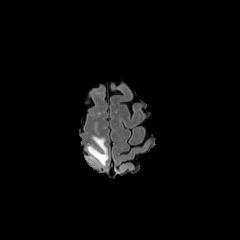
FLAIR MR.
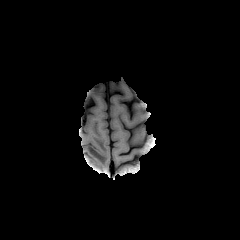
T1-weighted MR image.
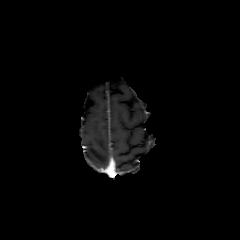
Post-contrast T1-weighted MR image of the same slice.
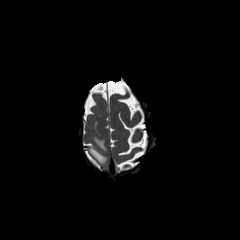
T2-weighted MRI.
Brain
The peritumoral edema is at box=[87, 136, 108, 167].